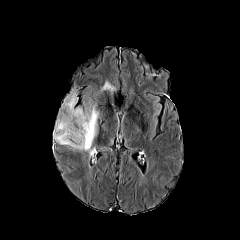
FLAIR MRI.
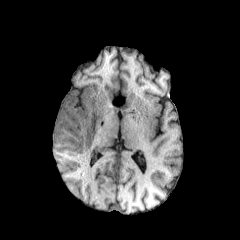
Same slice, T1-weighted magnetic resonance.
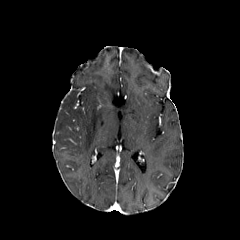
Post-contrast T1-weighted MR image of the same slice.
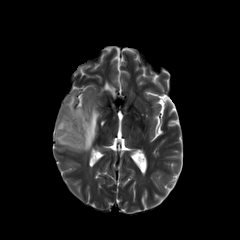
T2-weighted magnetic resonance.
Axial plane; 240x240 px
{
  "peritumoral_edema": [
    "54:90:99:156",
    "100:80:115:93"
  ]
}